FLAIR MR image.
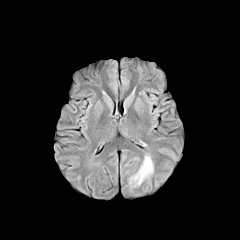
T1-weighted MRI.
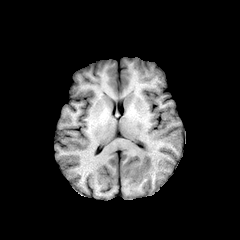
Post-contrast T1-weighted MRI.
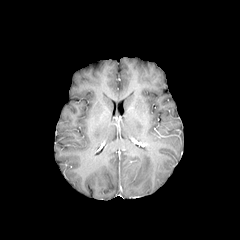
T2-weighted MR image.
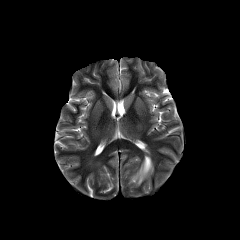
Image size 240x240
peritumoral_edema:
  - 130 155 153 185